FLAIR MR image.
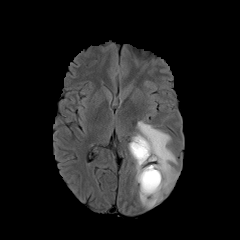
T1-weighted MR image.
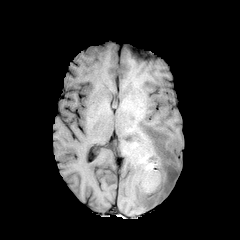
Post-contrast T1-weighted magnetic resonance.
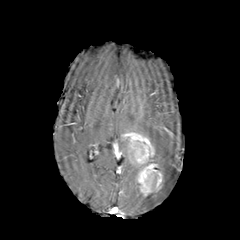
T2-weighted magnetic resonance.
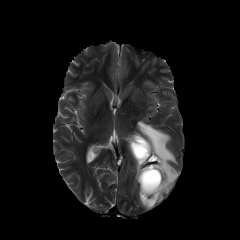
Axial slice. 240x240 px.
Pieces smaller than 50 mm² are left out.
The largest necrotic tumor core region is located at bbox=[143, 171, 157, 189]. The largest peritumoral edema region appears at bbox=[128, 120, 179, 208]. The enhancing tumor is at bbox=[130, 133, 162, 196].